Axial slice.
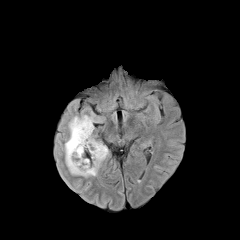
FLAIR MR.
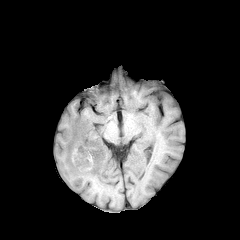
T1-weighted MR.
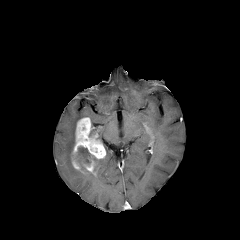
Post-contrast T1-weighted MRI.
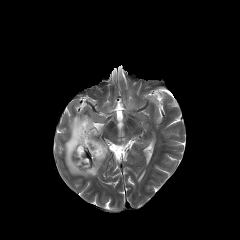
T2-weighted MR image of the same slice.
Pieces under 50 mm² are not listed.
peritumoral edema at bbox(64, 113, 99, 177); bbox(97, 145, 108, 169)
necrotic tumor core at bbox(73, 147, 90, 163)
enhancing tumor at bbox(72, 117, 105, 175)